Image width 240 mm, Slice 100 of 155, 240x240 px
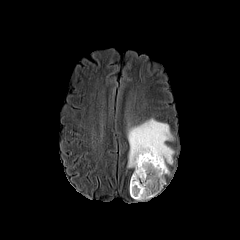
FLAIR magnetic resonance.
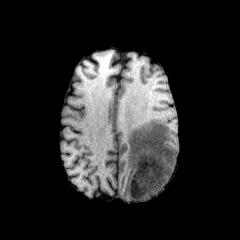
T1-weighted MRI of the same slice.
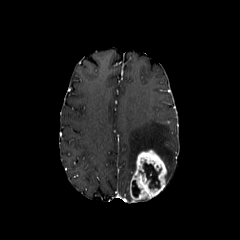
Same slice, post-contrast T1-weighted MR.
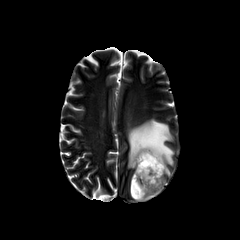
T2-weighted MR.
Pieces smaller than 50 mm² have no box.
* enhancing tumor: bbox(130, 149, 167, 201)
* necrotic tumor core: bbox(143, 163, 160, 188); bbox(132, 180, 140, 197)
* peritumoral edema: bbox(127, 118, 174, 175)